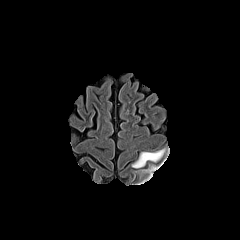
FLAIR magnetic resonance.
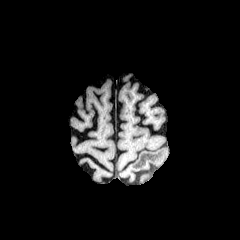
T1-weighted MRI.
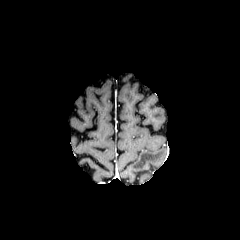
Post-contrast T1-weighted magnetic resonance.
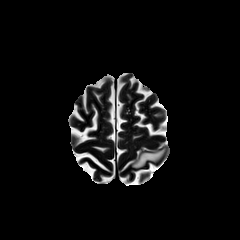
T2-weighted magnetic resonance.
240x240 px | Head
peritumoral edema = x1=148, y1=164, x2=162, y2=177; x1=132, y1=149, x2=165, y2=168